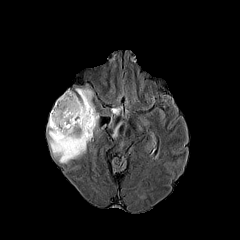
FLAIR MR.
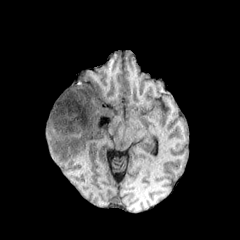
T1-weighted MR image of the same slice.
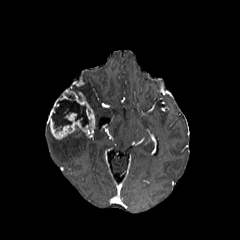
Post-contrast T1-weighted MR image of the same slice.
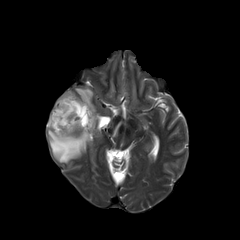
T2-weighted MRI.
240x240
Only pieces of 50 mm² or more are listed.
enhancing tumor at (x1=47, y1=89, x2=95, y2=139)
necrotic tumor core at (x1=51, y1=94, x2=89, y2=131)
peritumoral edema at (x1=47, y1=125, x2=90, y2=163), (x1=113, y1=122, x2=121, y2=136), (x1=75, y1=87, x2=98, y2=126)